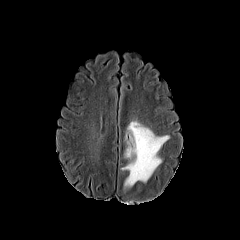
FLAIR MR.
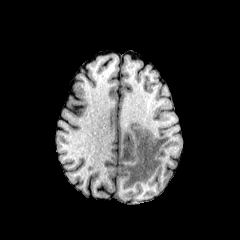
Same slice, T1-weighted MR image.
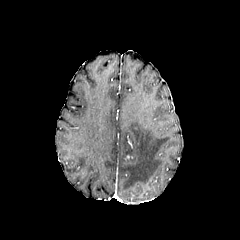
Post-contrast T1-weighted MR of the same slice.
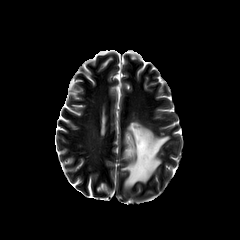
T2-weighted MR image of the same slice.
240x240 px
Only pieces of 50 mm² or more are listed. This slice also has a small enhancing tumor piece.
The peritumoral edema is located at x1=121 y1=120 x2=169 y2=188.